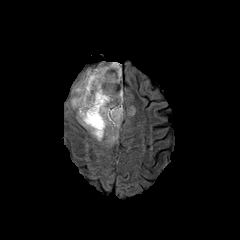
FLAIR magnetic resonance.
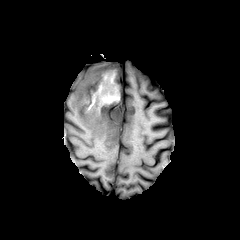
T1-weighted MR image.
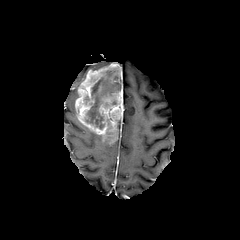
Same slice, post-contrast T1-weighted magnetic resonance.
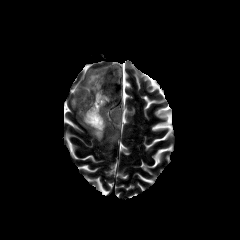
T2-weighted MR of the same slice.
Axial plane
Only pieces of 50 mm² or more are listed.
{
  "peritumoral_edema": [
    "(84,126,102,141)",
    "(70,79,82,109)"
  ],
  "necrotic_tumor_core": [
    "(86,70,120,129)"
  ],
  "enhancing_tumor": [
    "(75,62,124,144)"
  ]
}